Head; Slice 38 of 155
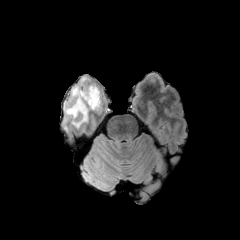
FLAIR MRI.
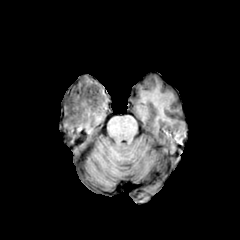
T1-weighted MR.
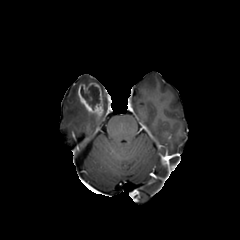
Post-contrast T1-weighted magnetic resonance of the same slice.
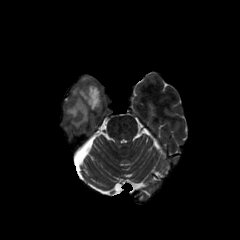
Same slice, T2-weighted MRI.
The peritumoral edema appears at bbox=[64, 77, 90, 127]. The enhancing tumor is bounded by bbox=[77, 82, 103, 115]. The necrotic tumor core is located at bbox=[80, 85, 100, 109].